Slice 83/155.
FLAIR MR.
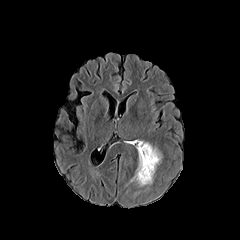
T1-weighted MRI.
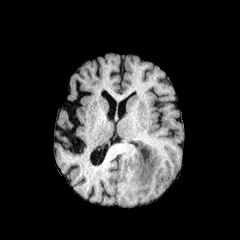
Post-contrast T1-weighted magnetic resonance.
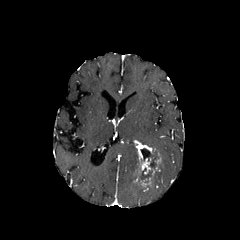
T2-weighted MR.
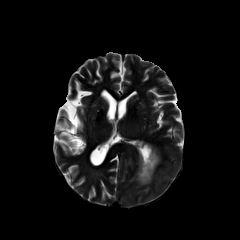
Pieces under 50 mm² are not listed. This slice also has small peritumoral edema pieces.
• necrotic tumor core: 139:168:152:179, 141:148:158:168
• enhancing tumor: 140:177:151:185, 136:141:155:181